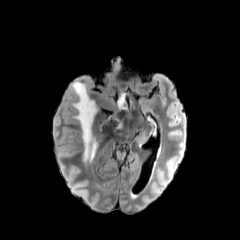
FLAIR MRI.
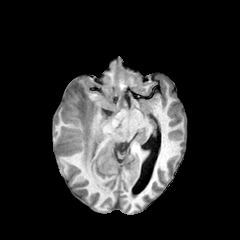
Same slice, T1-weighted MR image.
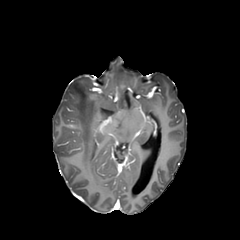
Post-contrast T1-weighted magnetic resonance.
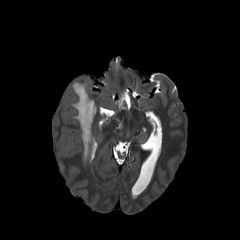
T2-weighted MRI.
Head
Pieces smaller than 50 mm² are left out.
peritumoral_edema:
  - 117 94 127 108
  - 70 81 96 162